Axial slice, Head
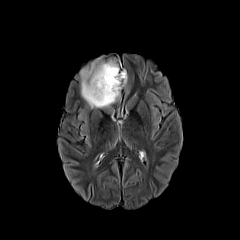
FLAIR magnetic resonance.
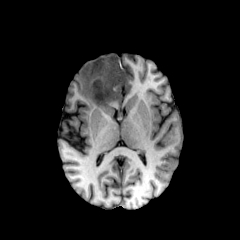
T1-weighted MR image of the same slice.
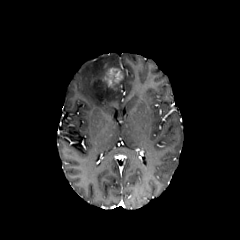
Post-contrast T1-weighted magnetic resonance of the same slice.
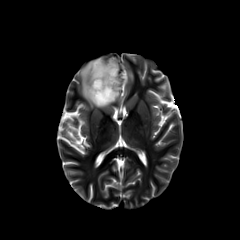
T2-weighted MRI.
enhancing tumor: 102 67 123 87
peritumoral edema: 80 57 127 108